240x240; Image covers 240 mm x 240 mm; Slice index 84; Head
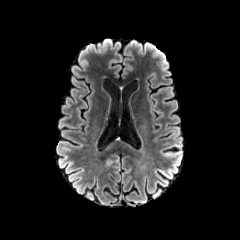
FLAIR MR image.
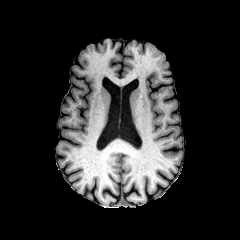
T1-weighted MR.
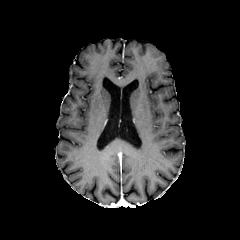
Same slice, post-contrast T1-weighted MR image.
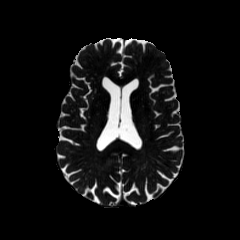
T2-weighted MR.
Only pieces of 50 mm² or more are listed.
<segmentation>
  <peritumoral_edema>rect(106, 155, 119, 165)</peritumoral_edema>
</segmentation>